FLAIR MR image.
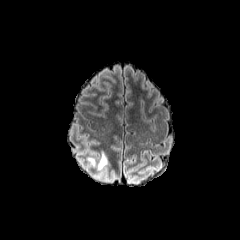
T1-weighted MR image.
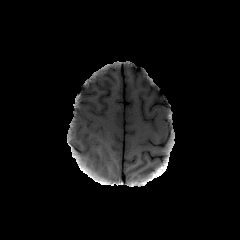
Post-contrast T1-weighted MR.
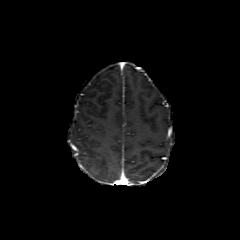
T2-weighted magnetic resonance.
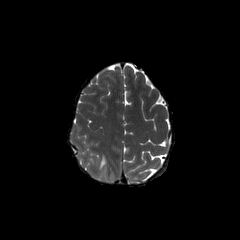
Head
The peritumoral edema is bounded by region(88, 152, 107, 169).